FLAIR magnetic resonance.
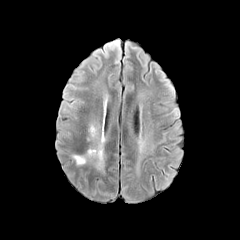
T1-weighted magnetic resonance.
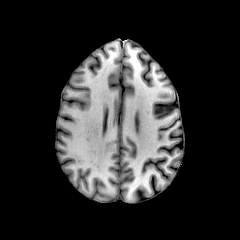
Post-contrast T1-weighted MR.
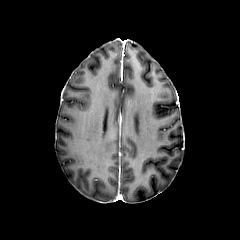
T2-weighted magnetic resonance.
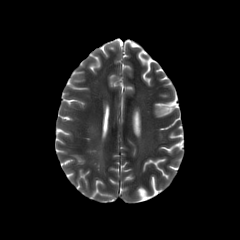
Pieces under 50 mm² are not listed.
peritumoral edema: region(87, 150, 95, 157); region(74, 155, 85, 164); region(97, 150, 102, 165)